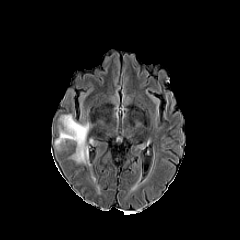
FLAIR MR.
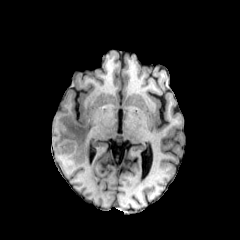
T1-weighted MR of the same slice.
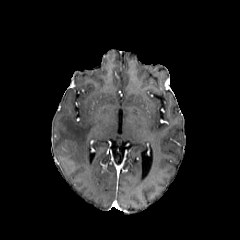
Post-contrast T1-weighted MR.
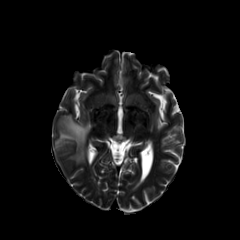
Same slice, T2-weighted MR.
Head
peritumoral edema: (55,114,91,163)